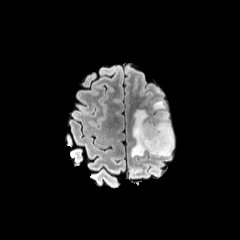
FLAIR MR.
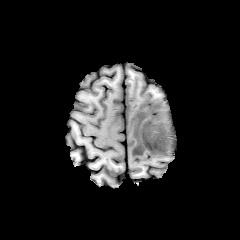
T1-weighted magnetic resonance.
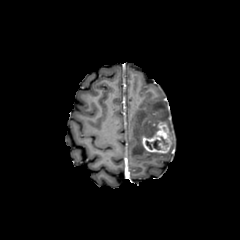
Same slice, post-contrast T1-weighted MRI.
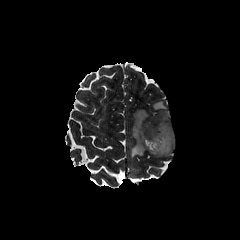
T2-weighted MR of the same slice.
peritumoral edema = l=131, t=100, r=174, b=156
enhancing tumor = l=142, t=122, r=172, b=153
necrotic tumor core = l=146, t=136, r=167, b=150